FLAIR magnetic resonance.
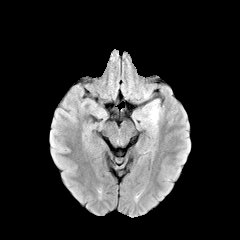
T1-weighted MR image.
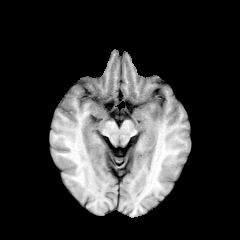
Post-contrast T1-weighted MR image.
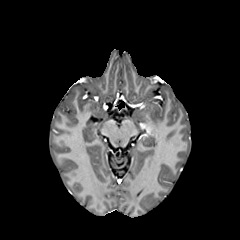
T2-weighted magnetic resonance.
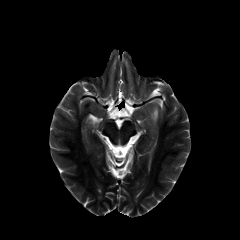
Head. 240x240.
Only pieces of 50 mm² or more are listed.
peritumoral edema: 143,100,160,130